FLAIR MRI.
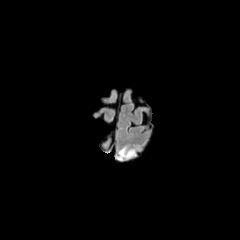
T1-weighted MR.
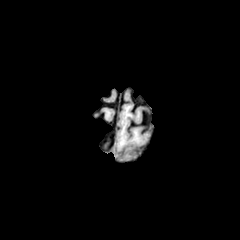
Post-contrast T1-weighted MR image.
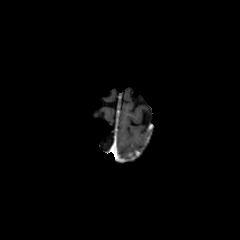
T2-weighted MRI.
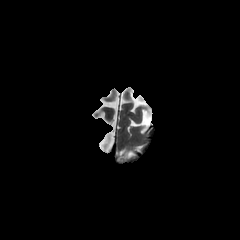
Axial plane
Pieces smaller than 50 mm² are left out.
The peritumoral edema appears at bbox=[119, 147, 135, 159]. The largest enhancing tumor region lies within bbox=[126, 151, 136, 159].